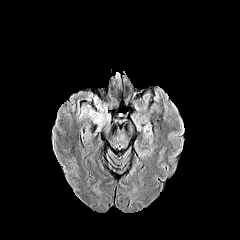
FLAIR magnetic resonance.
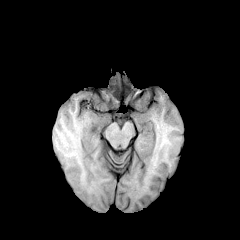
T1-weighted MR image.
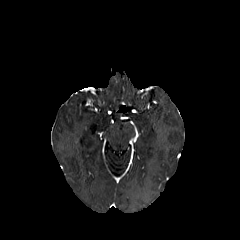
Post-contrast T1-weighted MRI.
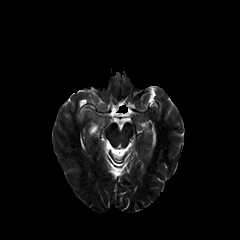
T2-weighted MRI.
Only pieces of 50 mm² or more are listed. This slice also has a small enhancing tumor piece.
<segmentation>
  <peritumoral_edema>bbox=[81, 110, 106, 126]</peritumoral_edema>
</segmentation>